Slice 118 of 155 | 240x240
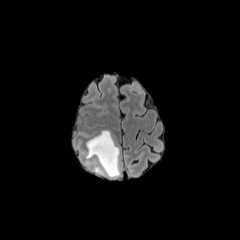
FLAIR MR image.
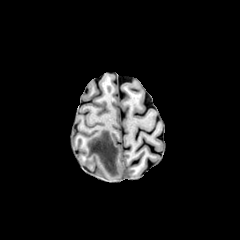
T1-weighted MR.
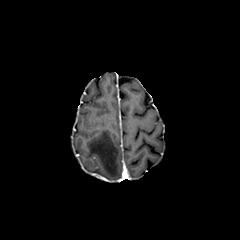
Same slice, post-contrast T1-weighted MR image.
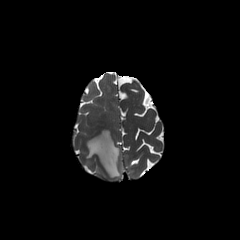
T2-weighted MR image of the same slice.
The peritumoral edema lies within region(86, 130, 120, 177).